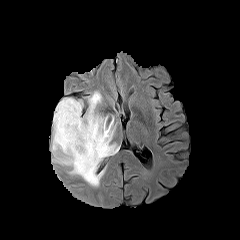
FLAIR MR.
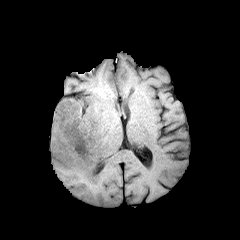
T1-weighted MR.
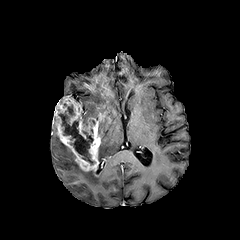
Same slice, post-contrast T1-weighted MR.
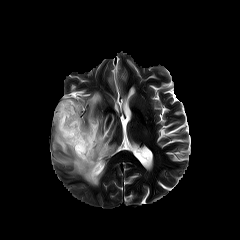
T2-weighted MR image.
240x240 px; Head; Axial view
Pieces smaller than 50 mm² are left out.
The 3 largest peritumoral edema regions are bounded by <bbox>98, 116, 118, 161</bbox>, <bbox>82, 91, 101, 125</bbox>, <bbox>52, 124, 104, 186</bbox>. The largest necrotic tumor core region is bounded by <bbox>58, 103, 94, 164</bbox>. The enhancing tumor is bounded by <bbox>53, 96, 104, 171</bbox>.